Brain | Axial view
FLAIR MR.
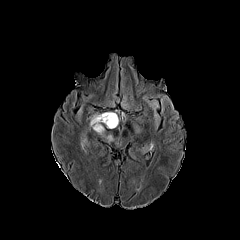
T1-weighted MR.
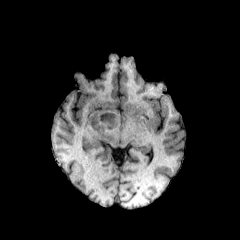
Post-contrast T1-weighted MR.
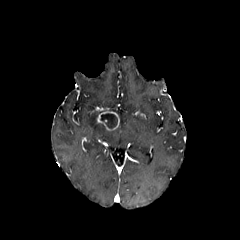
T2-weighted magnetic resonance.
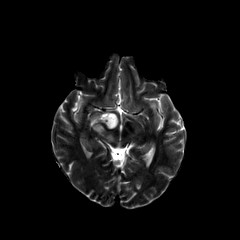
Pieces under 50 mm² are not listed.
Findings:
* necrotic tumor core: [101, 113, 117, 128]
* enhancing tumor: [97, 111, 119, 129]
* peritumoral edema: [90, 113, 104, 134]